FLAIR magnetic resonance.
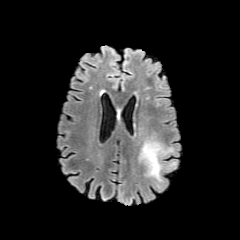
T1-weighted MR.
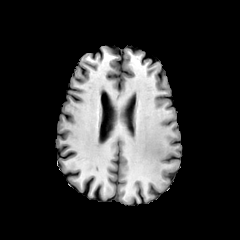
Post-contrast T1-weighted MRI.
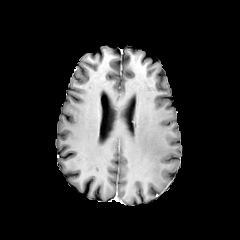
T2-weighted magnetic resonance.
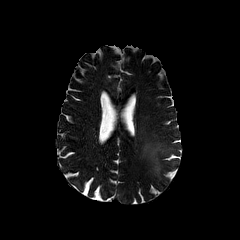
Annotated regions:
- peritumoral edema: (141, 141, 171, 179)